Slice index 43. Head. Image width 240 mm, 1.00 mm slice spacing.
FLAIR magnetic resonance.
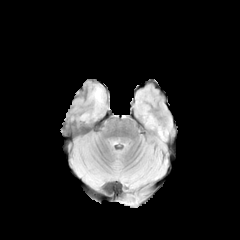
T1-weighted MR.
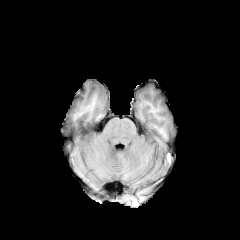
Post-contrast T1-weighted magnetic resonance.
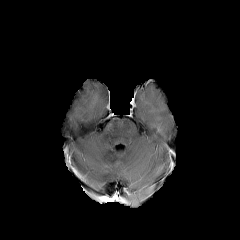
T2-weighted magnetic resonance.
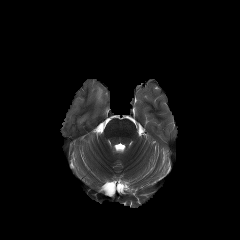
The peritumoral edema is located at (93, 86, 103, 104).